240x240 px, Slice 88/155
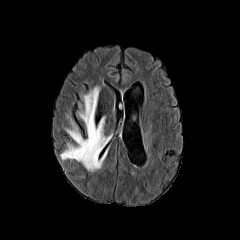
FLAIR MR.
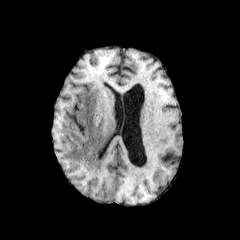
T1-weighted MR image of the same slice.
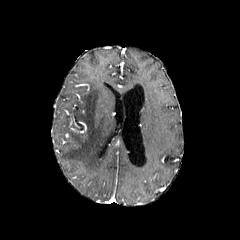
Post-contrast T1-weighted MRI.
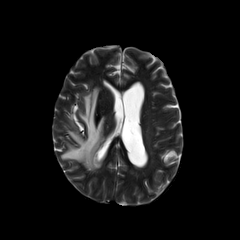
T2-weighted magnetic resonance.
peritumoral edema — 60 86 109 171